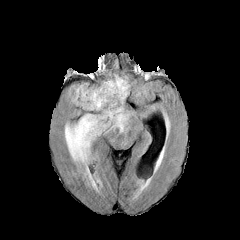
FLAIR MR image.
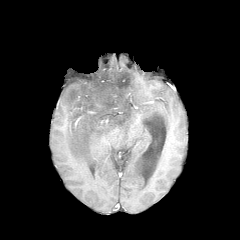
Same slice, T1-weighted magnetic resonance.
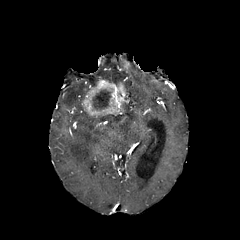
Post-contrast T1-weighted MR image.
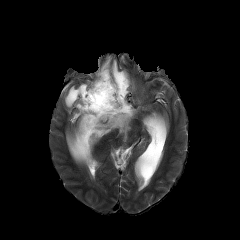
Same slice, T2-weighted MR image.
Head. Image size 240x240.
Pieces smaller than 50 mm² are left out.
The enhancing tumor appears at x1=81, y1=77, x2=126, y2=118. The necrotic tumor core appears at x1=93, y1=90, x2=110, y2=109. The 3 largest peritumoral edema regions are located at x1=66, y1=84, x2=88, y2=108; x1=65, y1=104, x2=133, y2=167; x1=98, y1=63, x2=130, y2=95.